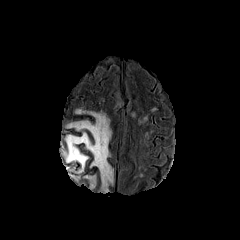
FLAIR MR image.
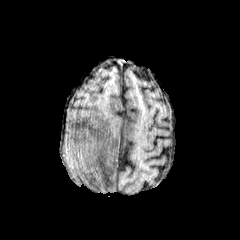
T1-weighted MR.
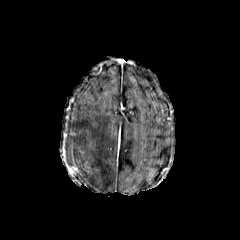
Post-contrast T1-weighted MR.
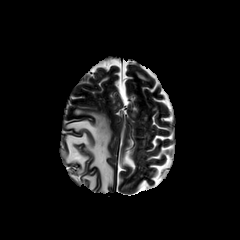
T2-weighted magnetic resonance of the same slice.
Head. Axial plane.
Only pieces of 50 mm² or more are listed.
The 2 largest peritumoral edema regions are located at {"x1": 85, "y1": 176, "x2": 95, "y2": 186}, {"x1": 65, "y1": 112, "x2": 113, "y2": 191}.